FLAIR magnetic resonance.
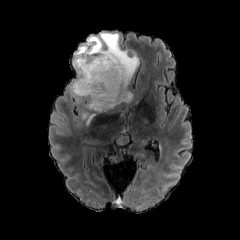
T1-weighted MR image.
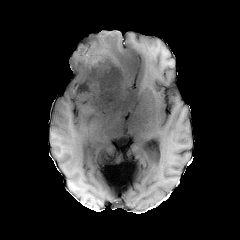
Post-contrast T1-weighted MR.
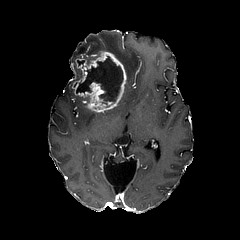
T2-weighted magnetic resonance.
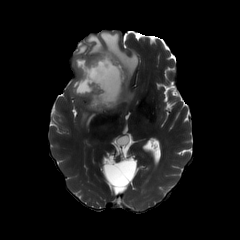
Axial slice, Head
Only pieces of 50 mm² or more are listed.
<segmentation>
  <enhancing_tumor>rect(72, 51, 126, 112)</enhancing_tumor>
  <necrotic_tumor_core>rect(77, 56, 123, 101)</necrotic_tumor_core>
  <peritumoral_edema>rect(72, 32, 138, 102); rect(82, 112, 96, 124)</peritumoral_edema>
</segmentation>